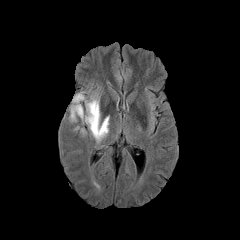
FLAIR magnetic resonance.
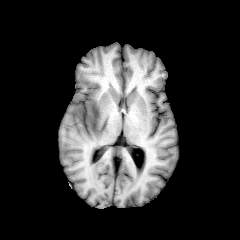
T1-weighted MR.
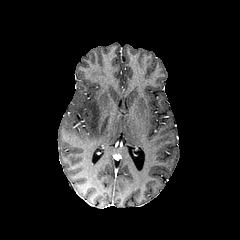
Post-contrast T1-weighted MRI.
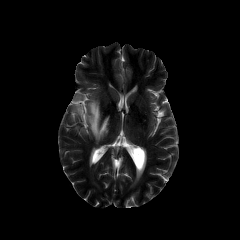
T2-weighted MRI.
• peritumoral edema: 71,104,83,119; 73,93,83,101; 86,99,108,141